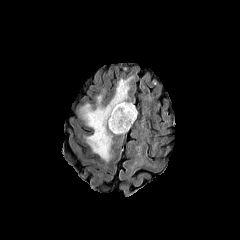
FLAIR magnetic resonance.
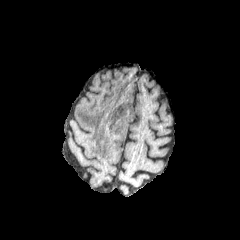
T1-weighted magnetic resonance.
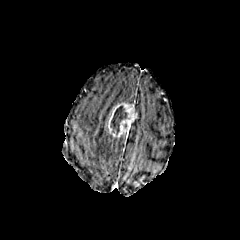
Post-contrast T1-weighted MR image.
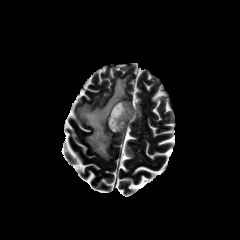
Same slice, T2-weighted MR image.
Head, Image size 240x240, Axial slice
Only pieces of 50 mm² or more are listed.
Segmented structures:
• necrotic tumor core: (111,106,127,134)
• peritumoral edema: (80,79,130,161)
• enhancing tumor: (106,102,137,137)